FLAIR MR image.
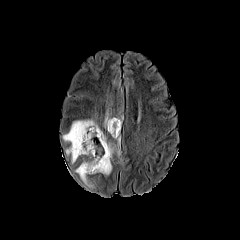
T1-weighted MRI.
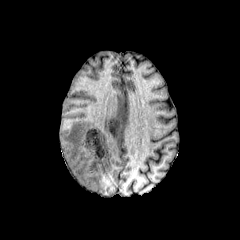
Post-contrast T1-weighted magnetic resonance.
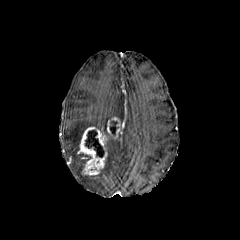
T2-weighted MR.
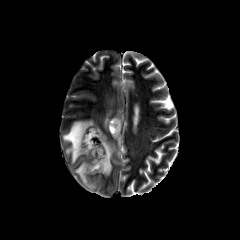
Axial plane; Head
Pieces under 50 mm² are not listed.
enhancing tumor at rect(77, 127, 107, 175); rect(107, 117, 122, 138)
necrotic tumor core at rect(110, 120, 118, 135); rect(85, 130, 104, 157)
peritumoral edema at rect(101, 133, 120, 175); rect(75, 161, 94, 188); rect(63, 119, 100, 163)